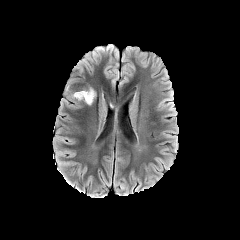
FLAIR magnetic resonance.
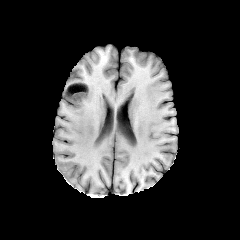
Same slice, T1-weighted MR.
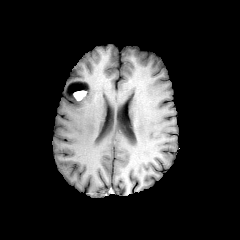
Post-contrast T1-weighted MR.
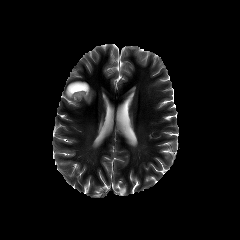
Same slice, T2-weighted magnetic resonance.
* peritumoral edema: <bbox>82, 87, 95, 104</bbox>, <bbox>65, 84, 79, 101</bbox>
* enhancing tumor: <bbox>73, 90, 87, 100</bbox>
* necrotic tumor core: <bbox>67, 82, 88, 94</bbox>